FLAIR magnetic resonance.
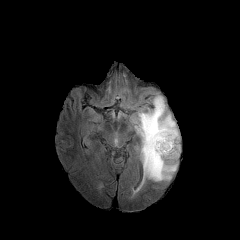
T1-weighted MR.
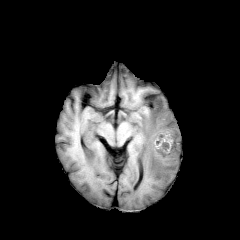
Post-contrast T1-weighted magnetic resonance.
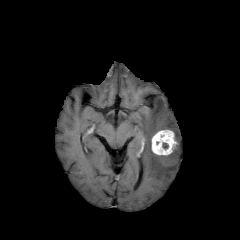
T2-weighted MR.
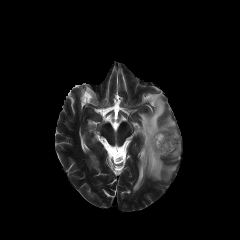
Axial slice.
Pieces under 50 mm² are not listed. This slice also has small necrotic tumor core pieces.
The enhancing tumor appears at x1=151, y1=129, x2=177, y2=155. The peritumoral edema is located at x1=135, y1=95, x2=180, y2=181.